Axial plane. Head.
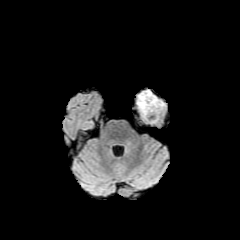
FLAIR magnetic resonance.
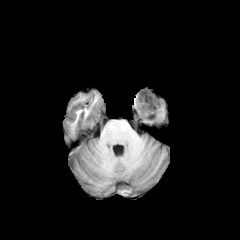
Same slice, T1-weighted MR.
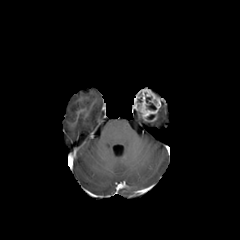
Post-contrast T1-weighted MRI of the same slice.
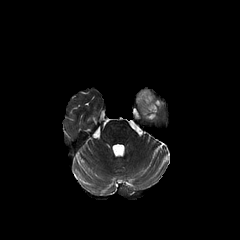
T2-weighted MR of the same slice.
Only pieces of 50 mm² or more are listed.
enhancing tumor: bounding box l=134, t=88, r=162, b=121
necrotic tumor core: bounding box l=146, t=97, r=156, b=110